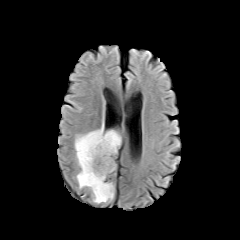
FLAIR MR.
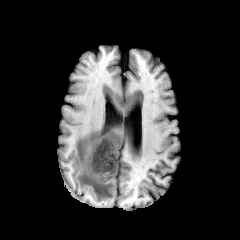
T1-weighted MRI.
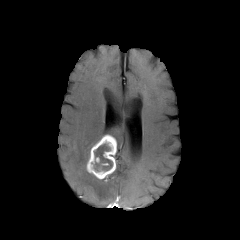
Same slice, post-contrast T1-weighted MR image.
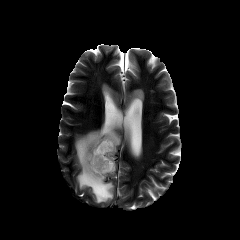
T2-weighted MR.
Axial view | 240x240 px
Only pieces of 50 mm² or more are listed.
peritumoral edema: 74 122 121 203 | necrotic tumor core: 94 144 112 170 | enhancing tumor: 86 134 116 179